FLAIR MRI.
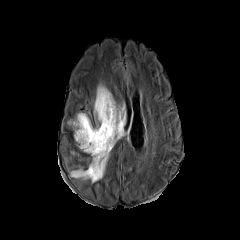
T1-weighted MR.
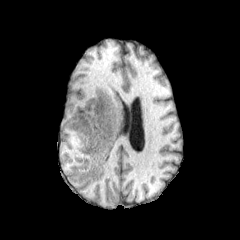
Post-contrast T1-weighted MRI.
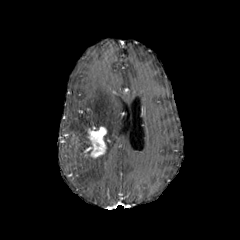
T2-weighted MR.
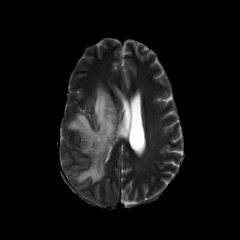
Brain | 240x240 px
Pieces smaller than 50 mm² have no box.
enhancing tumor — region(84, 126, 106, 158)
peritumoral edema — region(73, 85, 124, 182); region(69, 114, 92, 150)